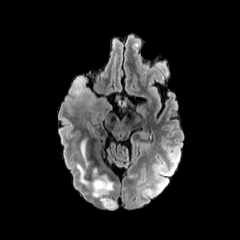
FLAIR MR image.
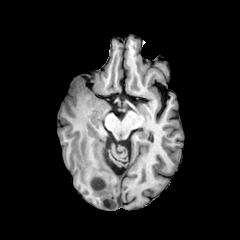
T1-weighted MR image.
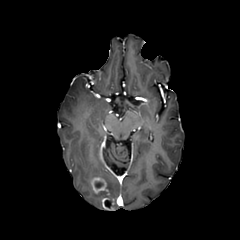
Post-contrast T1-weighted MR.
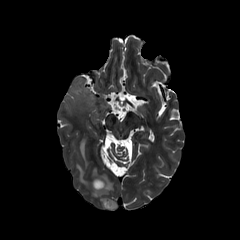
T2-weighted MR.
240x240. Head. Axial view.
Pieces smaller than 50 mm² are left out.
The largest necrotic tumor core region is bounded by (104, 200, 111, 207). The 4 largest peritumoral edema regions are located at (81, 139, 85, 160), (77, 164, 89, 184), (92, 175, 113, 201), (69, 76, 95, 107). 2 enhancing tumor regions are bounded by (102, 197, 114, 209), (90, 176, 107, 193).